Image size 240x240
FLAIR MR.
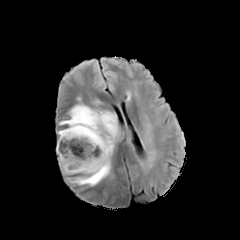
T1-weighted magnetic resonance.
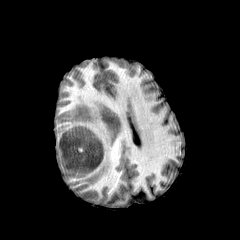
Post-contrast T1-weighted MR image.
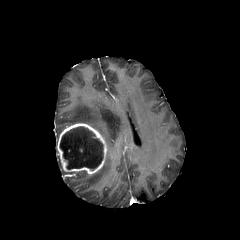
T2-weighted MR image.
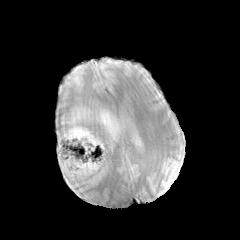
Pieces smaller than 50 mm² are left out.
necrotic tumor core — [60, 127, 103, 169]
enhancing tumor — [56, 123, 107, 175]
peritumoral edema — [59, 105, 120, 185]